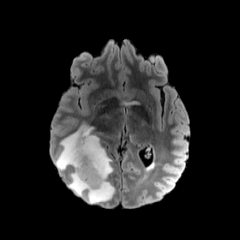
FLAIR MR.
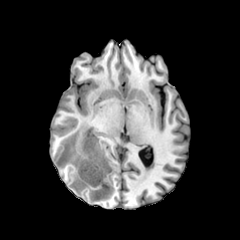
T1-weighted magnetic resonance of the same slice.
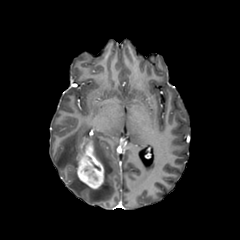
Post-contrast T1-weighted MR.
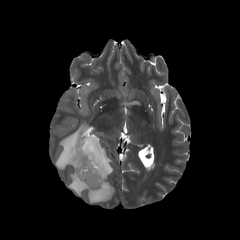
T2-weighted MRI of the same slice.
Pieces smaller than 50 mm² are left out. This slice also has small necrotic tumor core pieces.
Annotated regions:
- enhancing tumor: (76, 138, 104, 189)
- peritumoral edema: (55, 123, 115, 203)